Image width 240 mm; Slice index 103
FLAIR MRI.
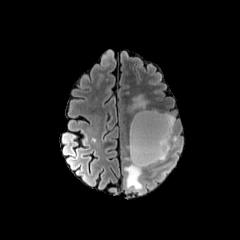
T1-weighted MRI.
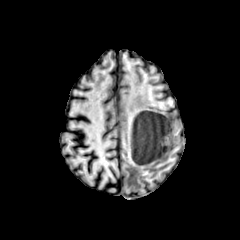
Post-contrast T1-weighted MR.
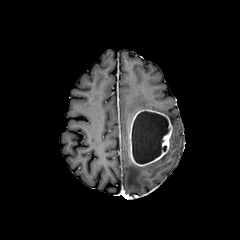
T2-weighted MR.
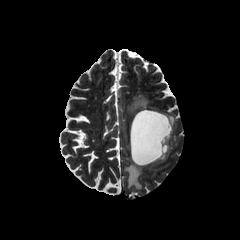
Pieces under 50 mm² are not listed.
enhancing tumor — <box>129,109,172,166</box>
peritumoral edema — <box>128,92,149,114</box>, <box>124,161,143,190</box>, <box>165,114,175,129</box>
necrotic tumor core — <box>132,111,169,163</box>